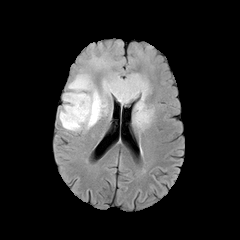
FLAIR MR.
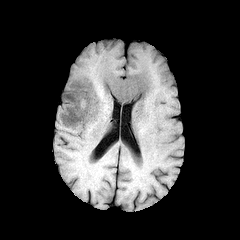
T1-weighted MR image.
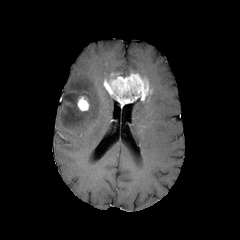
Post-contrast T1-weighted MRI.
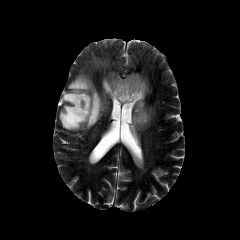
T2-weighted magnetic resonance of the same slice.
Brain; Axial plane
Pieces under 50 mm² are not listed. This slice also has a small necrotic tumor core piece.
2 enhancing tumor regions appear at bbox=[77, 96, 89, 111]; bbox=[103, 73, 150, 105]. The 3 largest peritumoral edema regions are bounded by bbox=[133, 99, 154, 129]; bbox=[59, 70, 118, 131]; bbox=[90, 55, 114, 69].